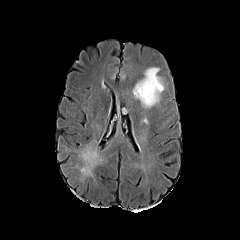
FLAIR MR.
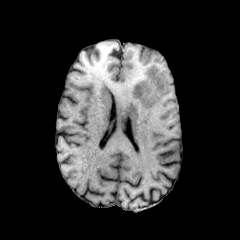
T1-weighted MR.
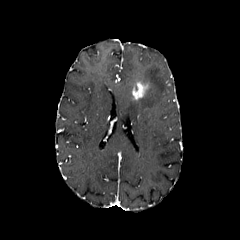
Post-contrast T1-weighted magnetic resonance.
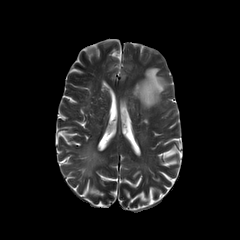
T2-weighted MRI.
Brain; Image size 240x240
{
  "peritumoral_edema": [
    "(138, 67, 164, 108)"
  ],
  "enhancing_tumor": [
    "(132, 82, 148, 99)"
  ]
}